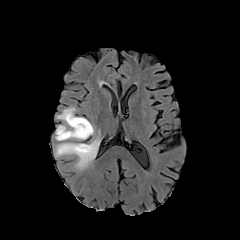
FLAIR MR.
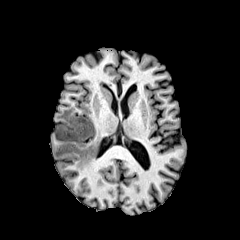
T1-weighted MRI.
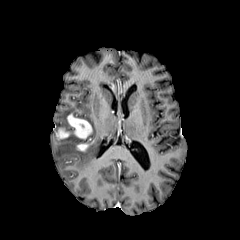
Post-contrast T1-weighted MR.
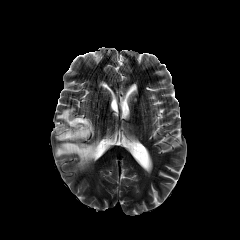
T2-weighted magnetic resonance.
Image size 240x240 | Brain
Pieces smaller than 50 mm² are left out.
3 enhancing tumor regions appear at (77,143,88,151), (56,128,70,139), (67,114,92,139). The largest peritumoral edema region is at (54,106,100,170).